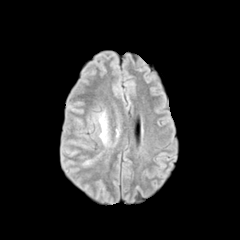
FLAIR MRI.
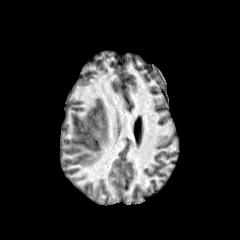
Same slice, T1-weighted MRI.
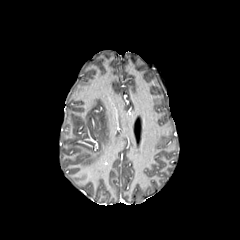
Same slice, post-contrast T1-weighted MR.
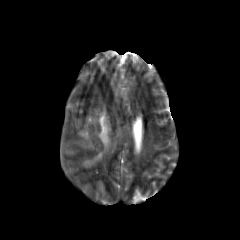
Same slice, T2-weighted MR image.
Head | 240x240 px
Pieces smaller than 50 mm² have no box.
peritumoral edema = [99, 112, 108, 144]